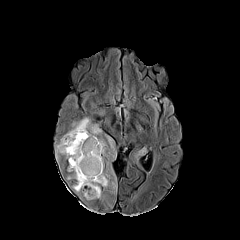
FLAIR MR.
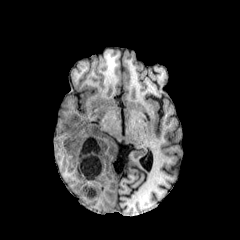
T1-weighted MR image of the same slice.
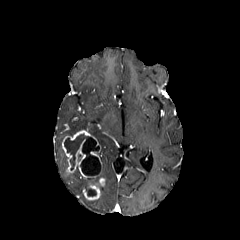
Post-contrast T1-weighted MR.
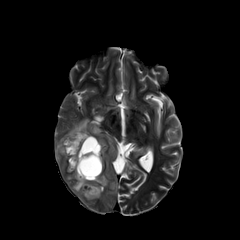
T2-weighted MR image.
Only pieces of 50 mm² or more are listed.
- necrotic tumor core: [x1=86, y1=186, x2=96, y2=196], [x1=64, y1=134, x2=101, y2=175]
- peritumoral edema: [x1=111, y1=168, x2=116, y2=192], [x1=97, y1=138, x2=107, y2=156], [x1=106, y1=136, x2=115, y2=157], [x1=56, y1=117, x2=101, y2=160], [x1=67, y1=157, x2=109, y2=192]
- enhancing tumor: [x1=83, y1=183, x2=100, y2=200], [x1=62, y1=130, x2=101, y2=178]